FLAIR MR.
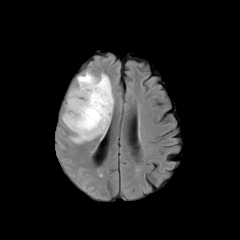
T1-weighted MRI.
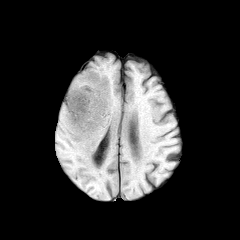
Post-contrast T1-weighted MR.
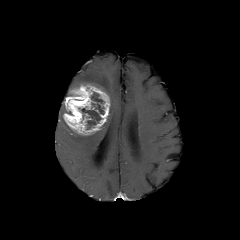
T2-weighted magnetic resonance.
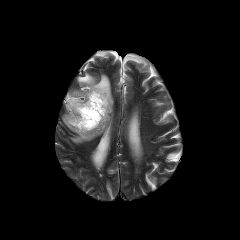
240x240 px.
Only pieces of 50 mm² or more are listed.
The 3 largest necrotic tumor core regions are bounded by [x1=81, y1=108, x2=101, y2=129], [x1=91, y1=92, x2=103, y2=103], [x1=95, y1=103, x2=103, y2=114]. The largest peritumoral edema region is bounded by [x1=62, y1=72, x2=113, y2=143]. The enhancing tumor appears at [x1=63, y1=83, x2=110, y2=135].